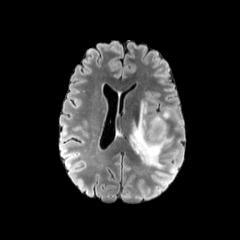
FLAIR magnetic resonance.
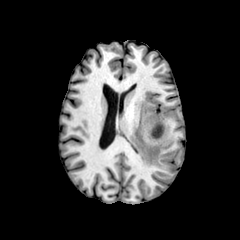
T1-weighted MR image.
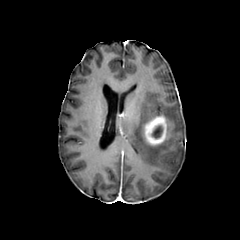
Post-contrast T1-weighted magnetic resonance.
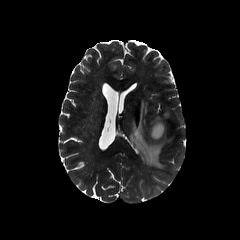
T2-weighted magnetic resonance of the same slice.
240x240 px; Axial plane
Annotated regions:
* necrotic tumor core: [152,126,162,138]
* peritumoral edema: [130,101,174,168]
* enhancing tumor: [144,115,166,145]